FLAIR MR.
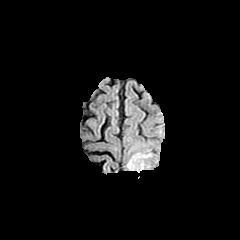
T1-weighted magnetic resonance.
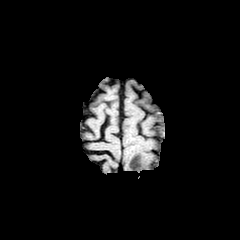
Post-contrast T1-weighted MR.
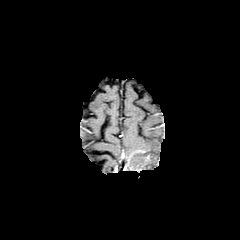
T2-weighted MR image.
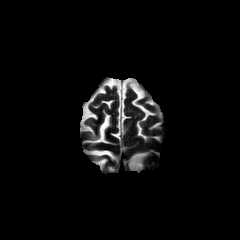
Brain
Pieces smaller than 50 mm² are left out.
The largest enhancing tumor region appears at 128,154,143,171. The largest peritumoral edema region lies within 132,151,151,169.